FLAIR MR image.
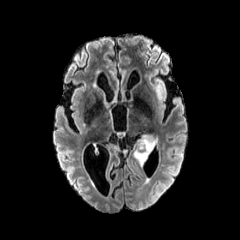
T1-weighted MR image.
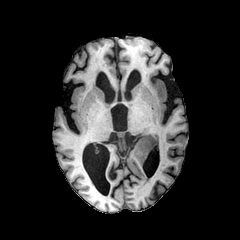
Post-contrast T1-weighted magnetic resonance.
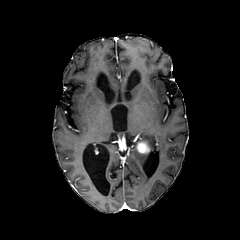
T2-weighted MR.
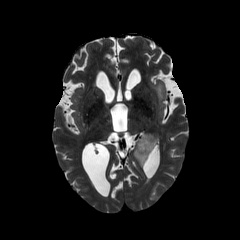
Head
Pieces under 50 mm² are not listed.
peritumoral_edema:
  - 133, 148, 149, 165
  - 137, 134, 157, 151
enhancing_tumor:
  - 136, 140, 151, 153